Image covers 240 mm x 240 mm. Brain.
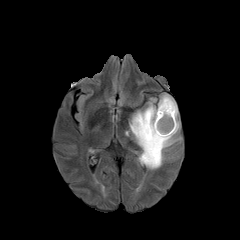
FLAIR magnetic resonance.
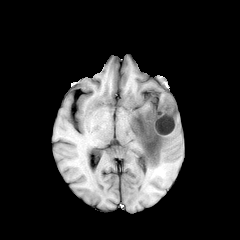
T1-weighted magnetic resonance of the same slice.
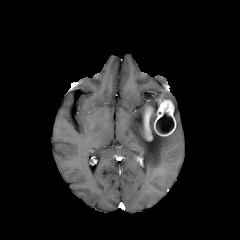
Post-contrast T1-weighted MR image.
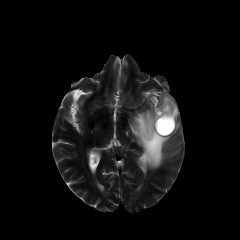
Same slice, T2-weighted MR.
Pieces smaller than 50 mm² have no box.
Segmented structures:
* enhancing tumor: (142,99,176,140)
* peritumoral edema: (148,98,157,112), (125,93,180,169)
* necrotic tumor core: (156,113,174,133)